Image width 240 mm, 1.00 mm slice spacing
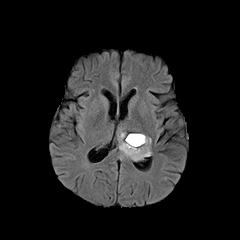
FLAIR MR image.
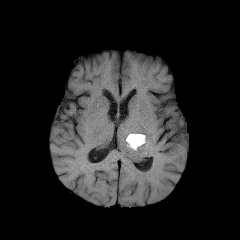
Same slice, T1-weighted MR.
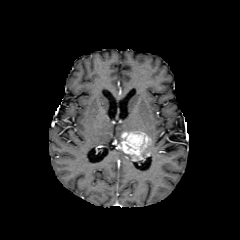
Post-contrast T1-weighted MRI of the same slice.
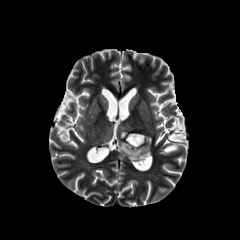
Same slice, T2-weighted MRI.
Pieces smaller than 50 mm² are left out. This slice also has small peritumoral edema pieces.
<segmentation>
  <enhancing_tumor>box(118, 132, 150, 160)</enhancing_tumor>
</segmentation>